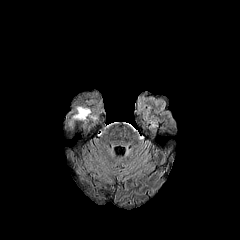
FLAIR MR.
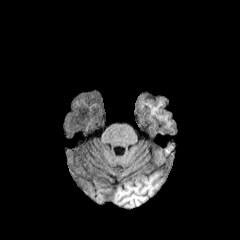
Same slice, T1-weighted MR.
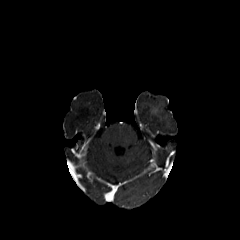
Post-contrast T1-weighted MR image.
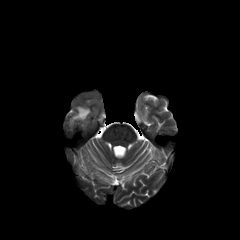
T2-weighted magnetic resonance of the same slice.
Brain | 240x240
Findings:
• peritumoral edema: box=[70, 107, 90, 125]